Image size 240x240, Brain
FLAIR MR image.
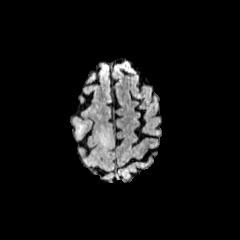
T1-weighted MR image.
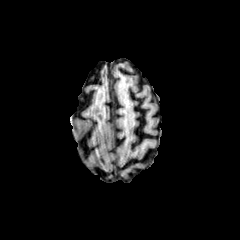
Post-contrast T1-weighted magnetic resonance.
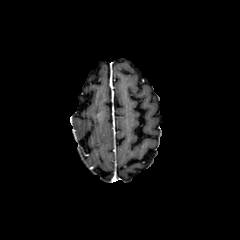
T2-weighted MRI.
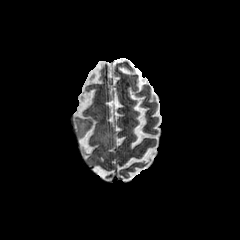
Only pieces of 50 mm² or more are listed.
The 2 largest peritumoral edema regions are bounded by <bbox>74, 120, 86, 138</bbox>, <bbox>98, 131, 110, 146</bbox>.